Image width 240 mm, 1.00 mm slice spacing, Head
FLAIR MRI.
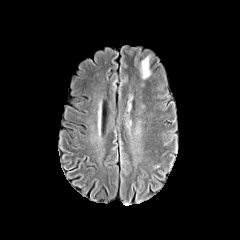
T1-weighted MR.
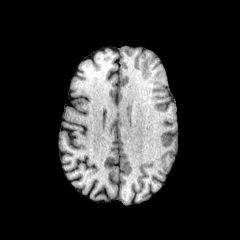
Post-contrast T1-weighted MR image.
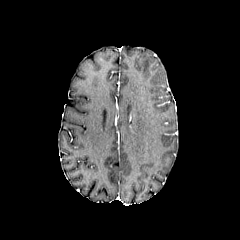
T2-weighted MR.
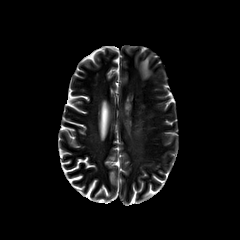
{"peritumoral_edema": ["box=[142, 57, 150, 78]"]}